Brain
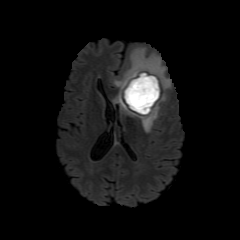
FLAIR MRI.
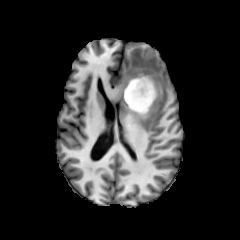
T1-weighted MR.
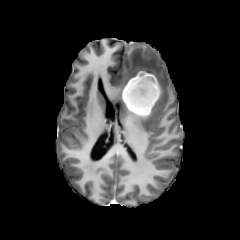
Same slice, post-contrast T1-weighted MRI.
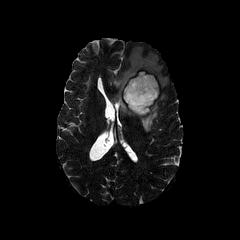
T2-weighted MR.
The peritumoral edema appears at [x1=113, y1=47, x2=170, y2=132]. The enhancing tumor lies within [x1=122, y1=71, x2=160, y2=116]. The necrotic tumor core lies within [x1=124, y1=78, x2=154, y2=109].